240x240 | Axial slice
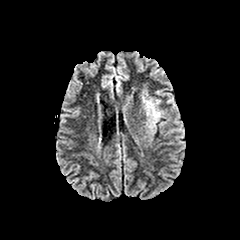
FLAIR MR.
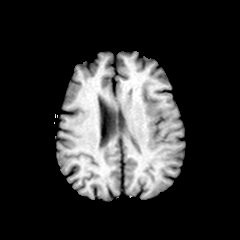
T1-weighted magnetic resonance.
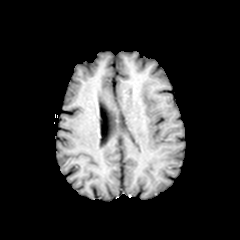
Post-contrast T1-weighted MR image of the same slice.
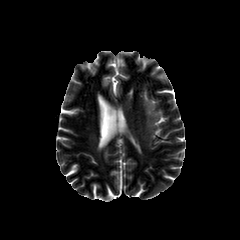
T2-weighted MR image.
{"peritumoral_edema": ["box(142, 96, 160, 130)"]}